FLAIR MRI.
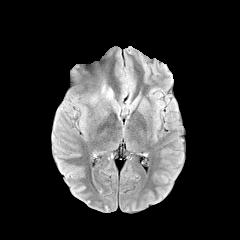
T1-weighted MR.
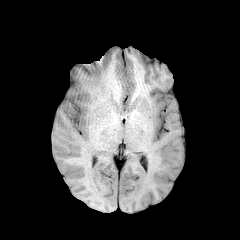
Post-contrast T1-weighted MR image.
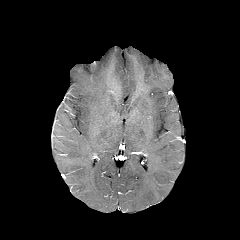
T2-weighted magnetic resonance.
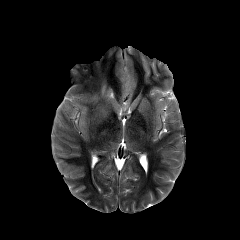
240x240 px. Brain.
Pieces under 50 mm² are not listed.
The largest peritumoral edema region lies within box(102, 86, 113, 100).